Axial view
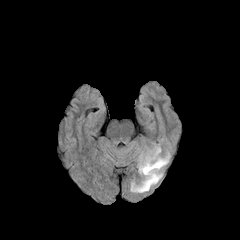
FLAIR MRI.
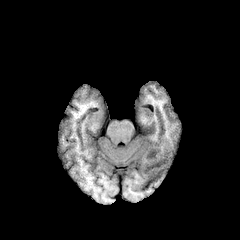
T1-weighted MRI.
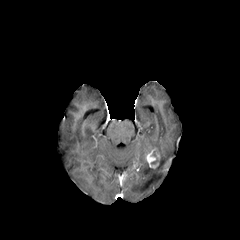
Post-contrast T1-weighted MR.
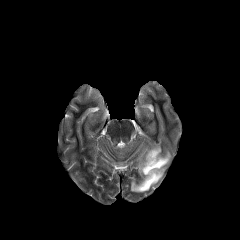
T2-weighted MR.
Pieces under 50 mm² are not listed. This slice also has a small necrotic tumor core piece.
<segmentation>
  <peritumoral_edema>130:143:171:193</peritumoral_edema>
  <enhancing_tumor>145:149:159:168</enhancing_tumor>
</segmentation>